FLAIR MRI.
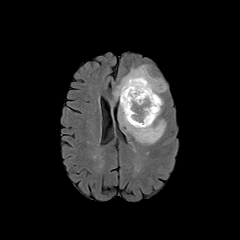
T1-weighted MR image.
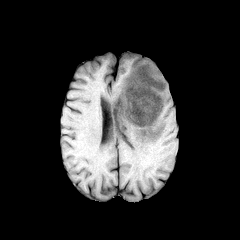
Post-contrast T1-weighted MRI.
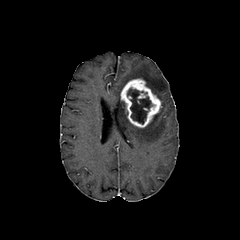
T2-weighted MR image.
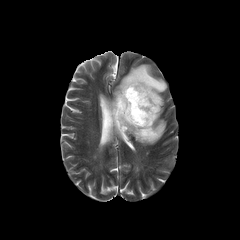
Image size 240x240 | Axial view
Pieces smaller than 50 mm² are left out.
2 peritumoral edema regions are located at 114,64,166,104; 118,100,165,144. The largest enhancing tumor region appears at 120,78,161,127. The largest necrotic tumor core region lies within 127,88,152,124.